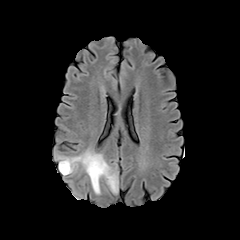
FLAIR MRI.
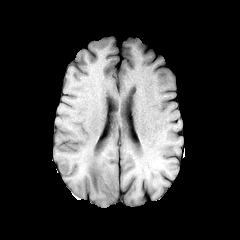
T1-weighted MR.
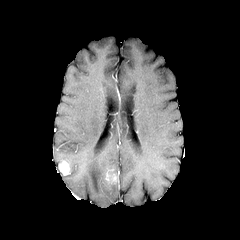
Post-contrast T1-weighted MRI.
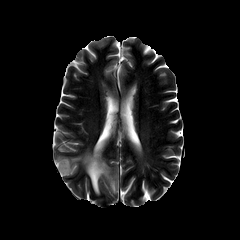
T2-weighted MR image of the same slice.
Axial slice
peritumoral edema: x1=106, y1=179, x2=117, y2=193; x1=57, y1=150, x2=117, y2=194
enhancing tumor: x1=58, y1=160, x2=69, y2=175; x1=105, y1=170, x2=117, y2=183